Image width 240 mm | Slice 56/155 | Head
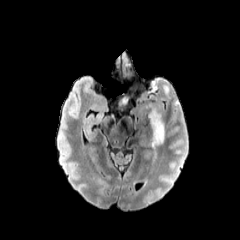
FLAIR MRI.
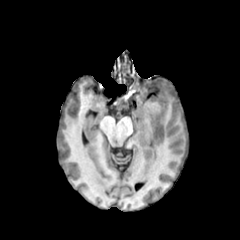
Same slice, T1-weighted MRI.
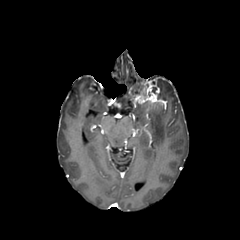
Post-contrast T1-weighted MRI of the same slice.
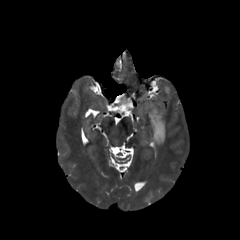
T2-weighted MRI.
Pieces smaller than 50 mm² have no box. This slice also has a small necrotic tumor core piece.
peritumoral_edema:
  - l=151, t=79, r=170, b=102
  - l=147, t=101, r=164, b=147
enhancing_tumor:
  - l=137, t=84, r=166, b=105